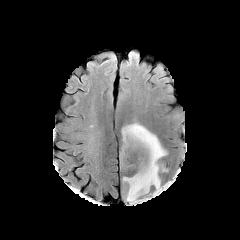
FLAIR magnetic resonance.
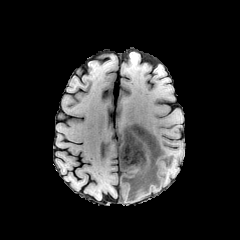
T1-weighted MR.
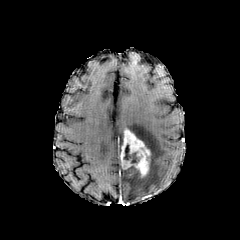
Post-contrast T1-weighted magnetic resonance.
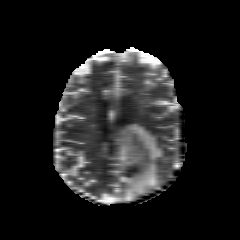
T2-weighted MR image of the same slice.
Head, Axial plane
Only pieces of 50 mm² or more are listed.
Annotated regions:
* peritumoral edema: 121:123:166:201
* enhancing tumor: 120:128:151:177
* necrotic tumor core: 124:145:130:159